240x240; Slice 106/155; Brain
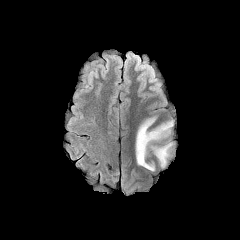
FLAIR MR.
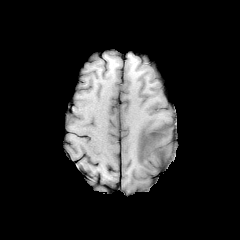
Same slice, T1-weighted MR image.
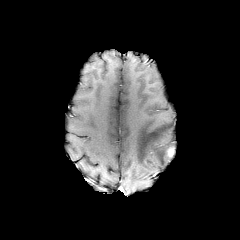
Same slice, post-contrast T1-weighted magnetic resonance.
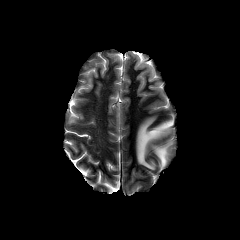
Same slice, T2-weighted MRI.
Segmented structures:
* peritumoral edema: left=136, top=116, right=173, bottom=170
* enhancing tumor: left=167, top=147, right=173, bottom=157